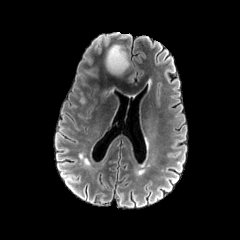
FLAIR MR.
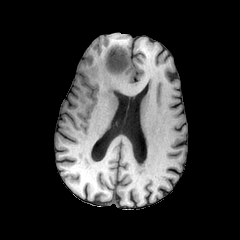
T1-weighted magnetic resonance.
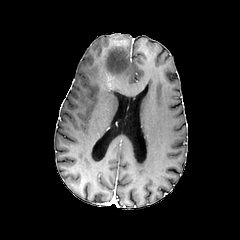
Post-contrast T1-weighted magnetic resonance.
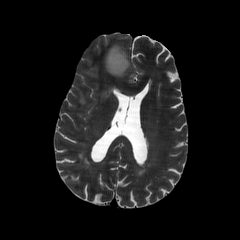
T2-weighted magnetic resonance.
Axial slice
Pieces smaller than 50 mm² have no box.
The enhancing tumor is bounded by [106, 76, 114, 89]. The largest peritumoral edema region appears at [106, 45, 129, 75].